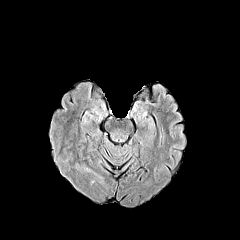
FLAIR MRI.
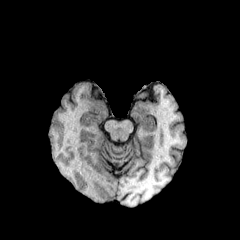
T1-weighted MRI of the same slice.
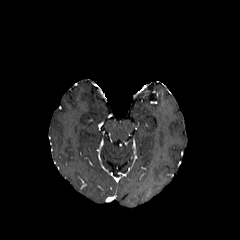
Post-contrast T1-weighted MR.
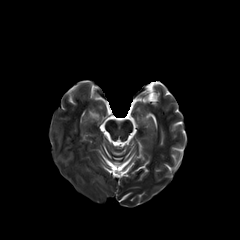
T2-weighted MR of the same slice.
Brain
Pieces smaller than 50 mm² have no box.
The largest peritumoral edema region is at 81, 163, 104, 181.